240x240; Axial plane; Brain
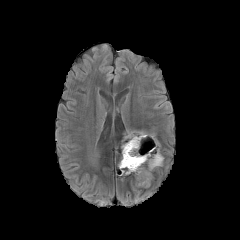
FLAIR MR image.
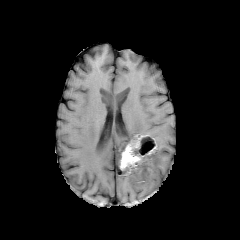
T1-weighted MRI.
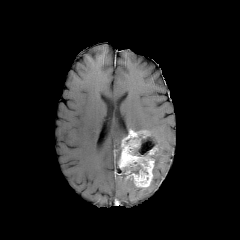
Post-contrast T1-weighted MR.
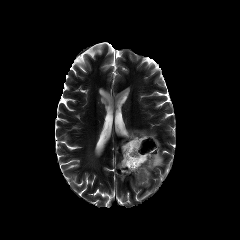
T2-weighted MRI.
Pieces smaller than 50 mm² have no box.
enhancing tumor: (118, 130, 157, 187)
peritumoral edema: (153, 149, 163, 168)
necrotic tumor core: (134, 136, 154, 155), (129, 165, 141, 174)